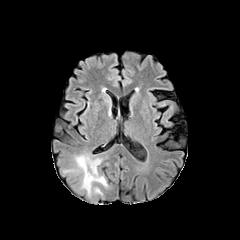
FLAIR MR image.
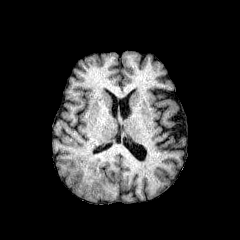
T1-weighted MR.
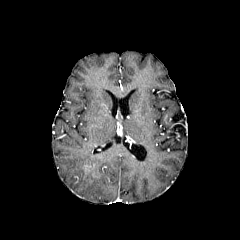
Post-contrast T1-weighted MRI of the same slice.
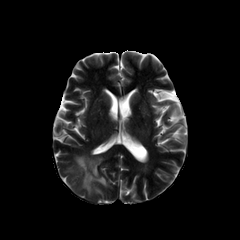
T2-weighted magnetic resonance of the same slice.
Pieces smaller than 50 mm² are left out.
peritumoral edema: bounding box [76, 155, 107, 190]